FLAIR MR image.
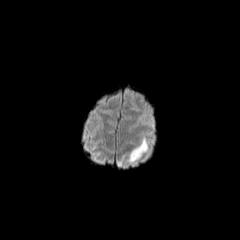
T1-weighted magnetic resonance.
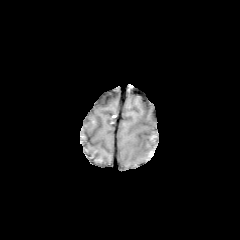
Post-contrast T1-weighted magnetic resonance.
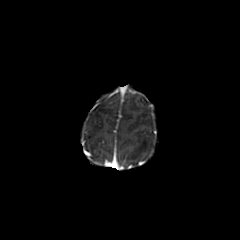
T2-weighted MRI.
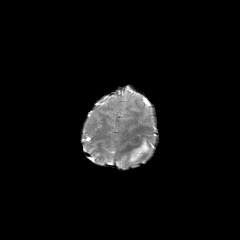
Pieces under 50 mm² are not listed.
The largest peritumoral edema region is located at (127, 137, 148, 163).